Head, Slice 105/155, Image covers 240 mm x 240 mm
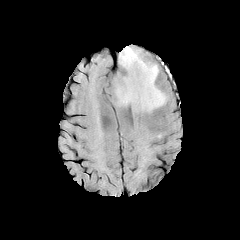
FLAIR MR.
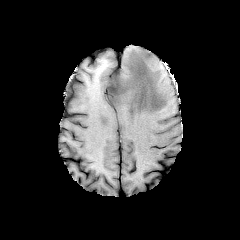
T1-weighted MR image of the same slice.
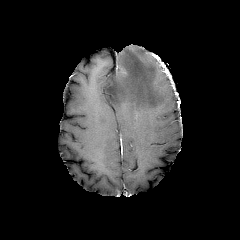
Post-contrast T1-weighted MR.
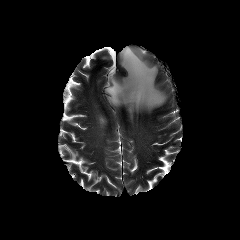
Same slice, T2-weighted MRI.
peritumoral edema: 109, 46, 167, 112